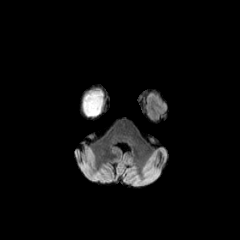
FLAIR MR.
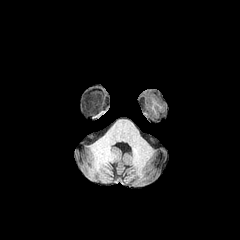
T1-weighted MR.
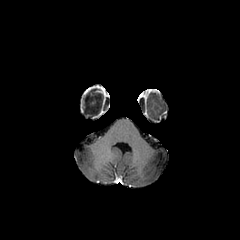
Post-contrast T1-weighted magnetic resonance of the same slice.
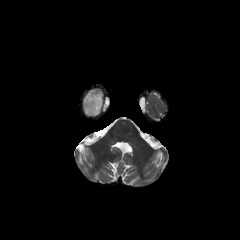
T2-weighted MR image.
240x240.
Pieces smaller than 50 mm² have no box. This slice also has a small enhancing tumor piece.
peritumoral edema: box=[83, 90, 103, 116]